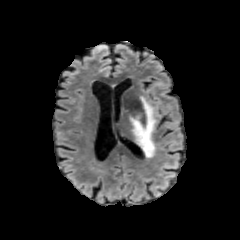
FLAIR magnetic resonance.
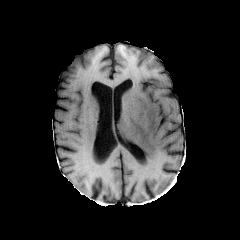
T1-weighted MR.
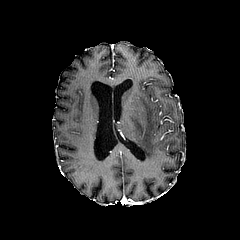
Post-contrast T1-weighted magnetic resonance.
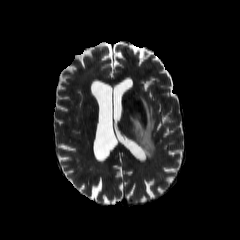
T2-weighted MR.
240x240 px. Axial view.
Annotated regions:
- peritumoral edema: rect(120, 96, 155, 157)